FLAIR MRI.
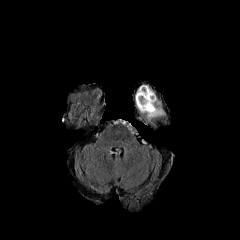
T1-weighted magnetic resonance.
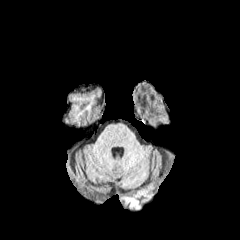
Post-contrast T1-weighted MR.
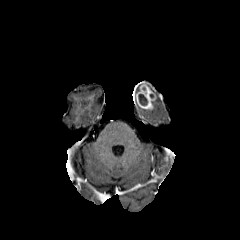
T2-weighted MR.
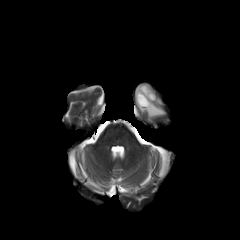
Axial view; 240x240
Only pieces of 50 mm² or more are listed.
The largest necrotic tumor core region lies within {"x1": 139, "y1": 94, "x2": 147, "y2": 105}. The enhancing tumor lies within {"x1": 135, "y1": 83, "x2": 156, "y2": 110}. The peritumoral edema lies within {"x1": 137, "y1": 99, "x2": 164, "y2": 120}.